FLAIR MRI.
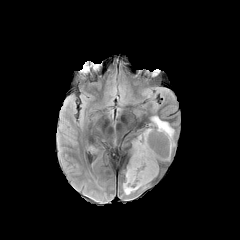
T1-weighted MRI.
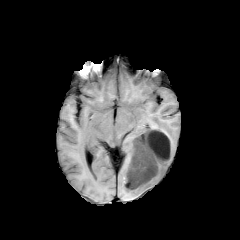
Post-contrast T1-weighted MRI.
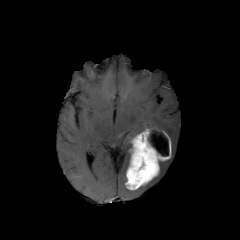
T2-weighted MR.
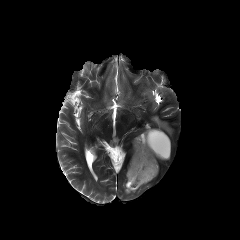
Axial plane.
{
  "enhancing_tumor": [
    "[125, 127, 171, 190]"
  ],
  "peritumoral_edema": [
    "[123, 183, 135, 194]",
    "[152, 116, 173, 148]"
  ],
  "necrotic_tumor_core": [
    "[148, 130, 168, 156]"
  ]
}